Brain, Axial plane
FLAIR MR.
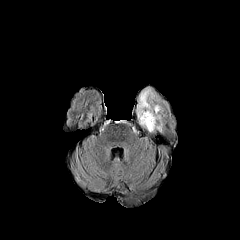
T1-weighted MR.
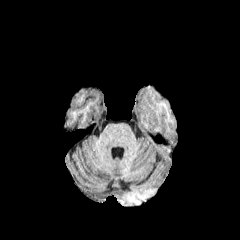
Post-contrast T1-weighted MRI.
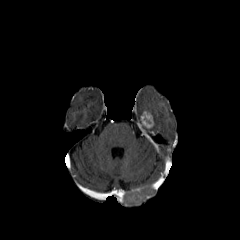
T2-weighted MRI.
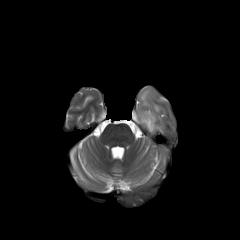
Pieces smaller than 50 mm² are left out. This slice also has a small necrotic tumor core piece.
The peritumoral edema is located at 136:87:162:133. The enhancing tumor is at 141:111:153:128.